FLAIR MR image.
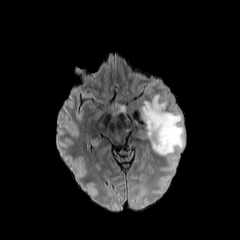
T1-weighted magnetic resonance.
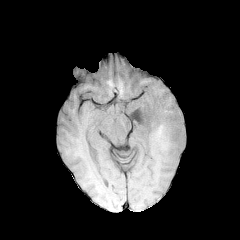
Post-contrast T1-weighted MR image.
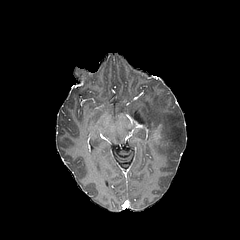
T2-weighted MR image.
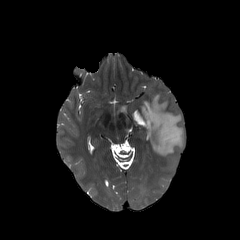
240x240 | Head
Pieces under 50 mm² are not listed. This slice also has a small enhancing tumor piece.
peritumoral edema: bounding box box=[141, 94, 185, 156]